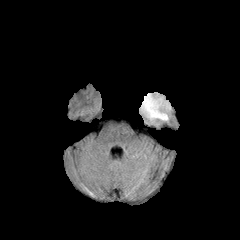
FLAIR MRI.
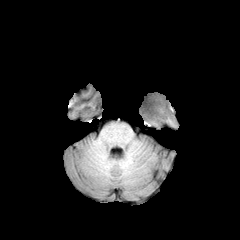
T1-weighted MRI.
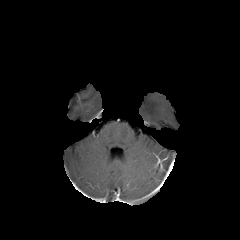
Post-contrast T1-weighted MR image.
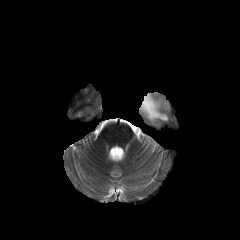
T2-weighted MRI.
Brain | 240x240
<segmentation>
  <necrotic_tumor_core>(144,102,154,113)</necrotic_tumor_core>
  <peritumoral_edema>(139,92,170,125)</peritumoral_edema>
  <enhancing_tumor>(143,99,155,115)</enhancing_tumor>
</segmentation>